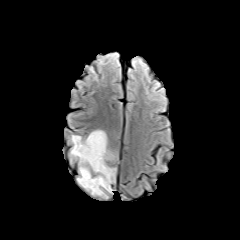
FLAIR MRI.
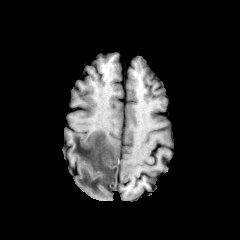
T1-weighted MR.
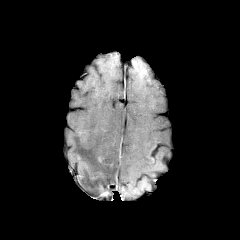
Post-contrast T1-weighted MR.
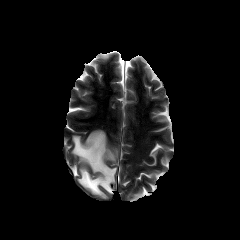
T2-weighted MR image.
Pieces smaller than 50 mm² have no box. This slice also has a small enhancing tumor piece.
The peritumoral edema appears at {"x1": 71, "y1": 130, "x2": 116, "y2": 197}.